Slice index 41
FLAIR MR.
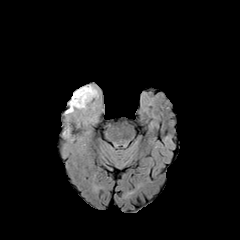
T1-weighted MR.
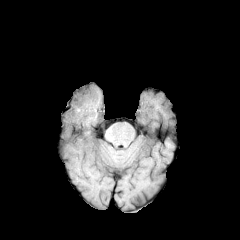
Post-contrast T1-weighted MRI.
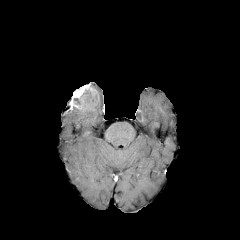
T2-weighted MR image.
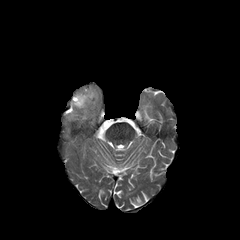
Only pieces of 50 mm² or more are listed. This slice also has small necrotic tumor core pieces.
peritumoral edema = 81:92:98:112
enhancing tumor = 69:84:97:110